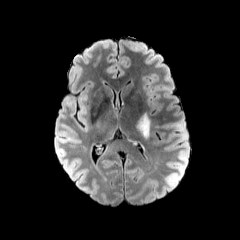
FLAIR MR.
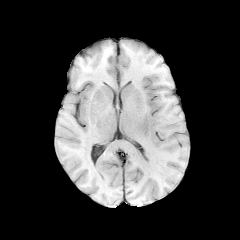
T1-weighted magnetic resonance.
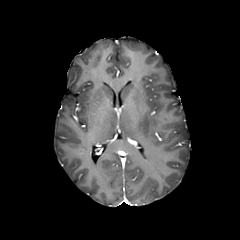
Same slice, post-contrast T1-weighted MRI.
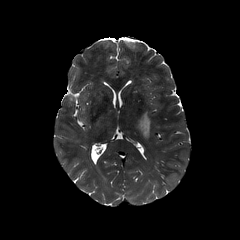
Same slice, T2-weighted magnetic resonance.
Image size 240x240; Axial slice; Head
The peritumoral edema is bounded by 135,111,160,140.